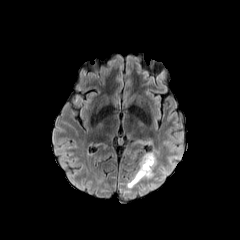
FLAIR magnetic resonance.
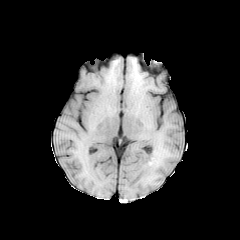
T1-weighted MRI of the same slice.
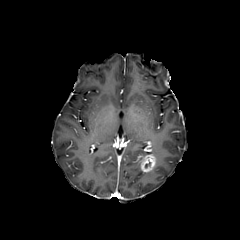
Post-contrast T1-weighted MRI.
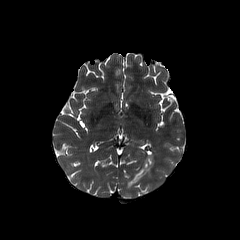
T2-weighted MR of the same slice.
Axial view; Head
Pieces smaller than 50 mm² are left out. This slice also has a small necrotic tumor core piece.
The enhancing tumor is bounded by <box>140,154,155,172</box>. The largest peritumoral edema region is at <box>127,169,153,188</box>.